FLAIR magnetic resonance.
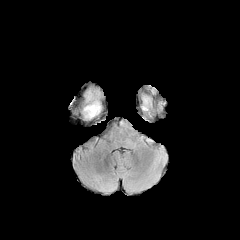
T1-weighted MRI.
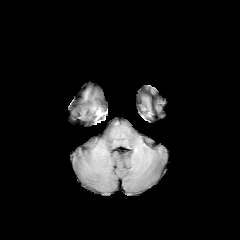
Post-contrast T1-weighted MR image.
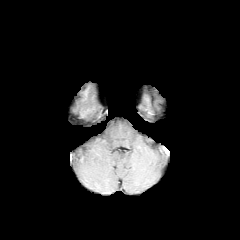
T2-weighted magnetic resonance.
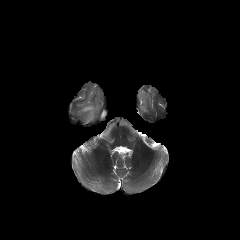
Brain
peritumoral edema: bounding box <bbox>82, 102, 100, 119</bbox>